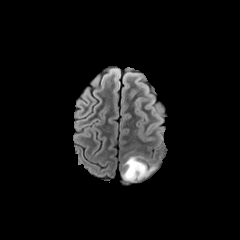
FLAIR MR image.
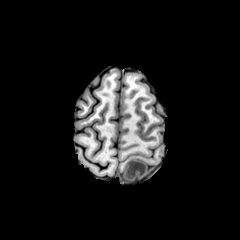
Same slice, T1-weighted MR image.
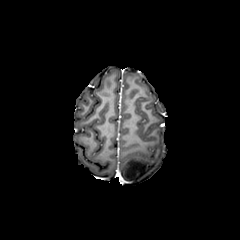
Post-contrast T1-weighted MR.
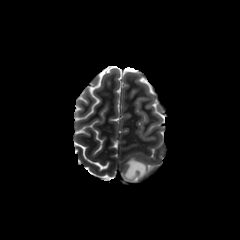
T2-weighted MRI.
Brain. Image size 240x240.
peritumoral edema: bounding box box=[123, 157, 154, 182]